Axial slice. Head. Slice 91/155.
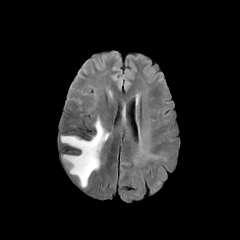
FLAIR MR image.
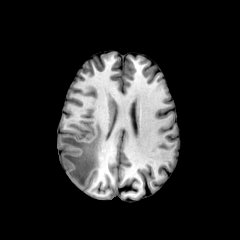
Same slice, T1-weighted magnetic resonance.
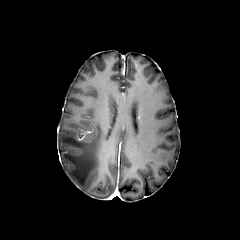
Post-contrast T1-weighted MRI.
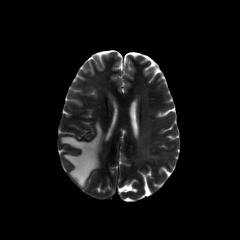
T2-weighted magnetic resonance.
The peritumoral edema is located at [x1=61, y1=119, x2=109, y2=187].